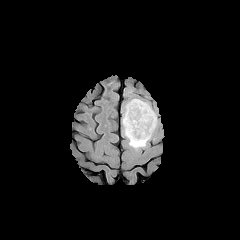
FLAIR MRI.
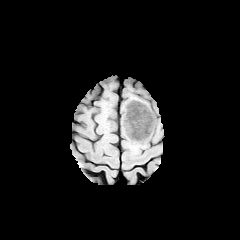
Same slice, T1-weighted MRI.
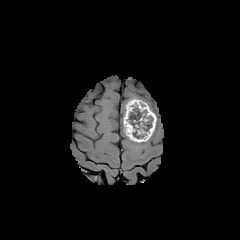
Post-contrast T1-weighted magnetic resonance.
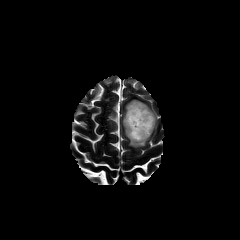
T2-weighted MR image.
Head, Image size 240x240
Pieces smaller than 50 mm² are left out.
The 2 largest necrotic tumor core regions are bounded by <bbox>145, 116, 152, 131</bbox>, <bbox>129, 107, 141, 129</bbox>. The largest peritumoral edema region is bounded by <bbox>127, 137, 147, 148</bbox>. The largest enhancing tumor region is bounded by <bbox>123, 99, 156, 142</bbox>.